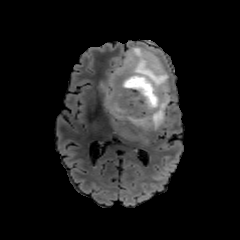
FLAIR MR image.
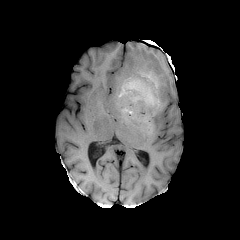
T1-weighted MR image.
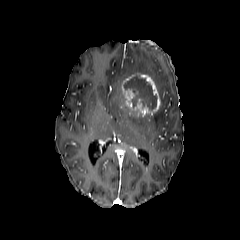
Post-contrast T1-weighted MR of the same slice.
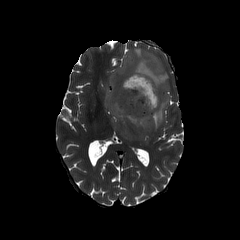
T2-weighted magnetic resonance of the same slice.
Head. Image size 240x240. Axial slice.
peritumoral edema — 98,47,173,143
necrotic tumor core — 124,76,157,110
enhancing tumor — 121,73,160,116